Slice index 103 | Image size 240x240 | Brain
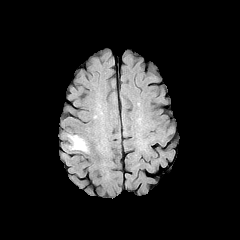
FLAIR MR.
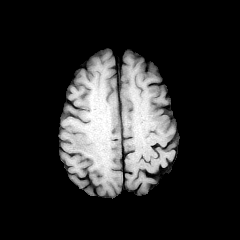
T1-weighted MRI.
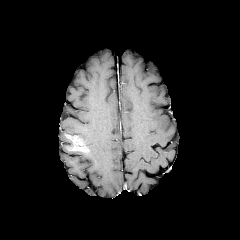
Post-contrast T1-weighted MR image.
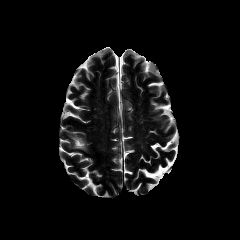
T2-weighted MR.
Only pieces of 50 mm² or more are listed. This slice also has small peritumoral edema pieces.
enhancing tumor: 66 135 88 152